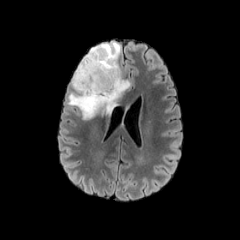
FLAIR MR.
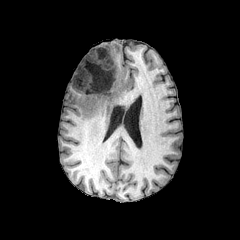
Same slice, T1-weighted MR image.
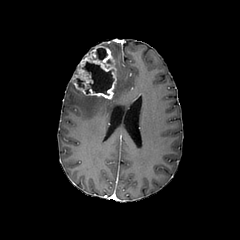
Same slice, post-contrast T1-weighted magnetic resonance.
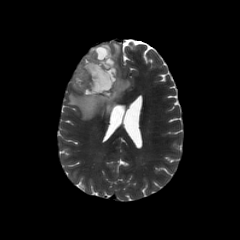
T2-weighted magnetic resonance of the same slice.
240x240 px. Axial slice.
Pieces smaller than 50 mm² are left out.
* enhancing tumor: [x1=72, y1=45, x2=116, y2=99]
* peritumoral edema: [x1=68, y1=42, x2=130, y2=119]
* necrotic tumor core: [x1=82, y1=61, x2=114, y2=95], [x1=94, y1=48, x2=107, y2=60], [x1=76, y1=78, x2=84, y2=88]